Brain.
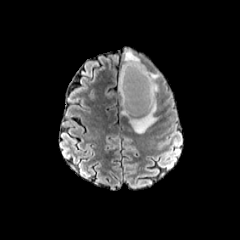
FLAIR magnetic resonance.
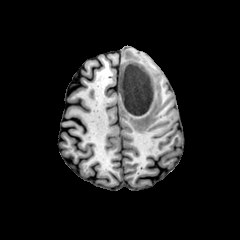
T1-weighted MRI.
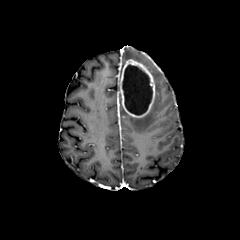
Post-contrast T1-weighted MRI.
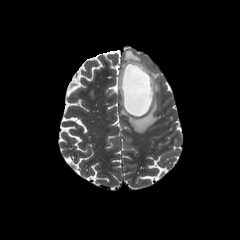
T2-weighted MR.
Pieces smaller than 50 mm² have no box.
The enhancing tumor is bounded by 119 59 155 117. The necrotic tumor core is bounded by 122 65 152 115. The 3 largest peritumoral edema regions are bounded by 121 96 157 133, 124 50 140 62, 151 72 160 92.